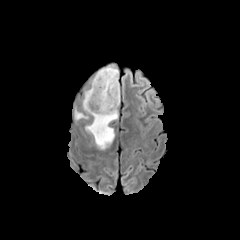
FLAIR MR.
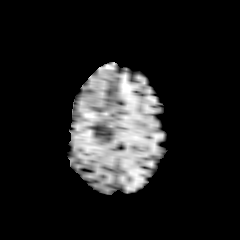
T1-weighted MR image.
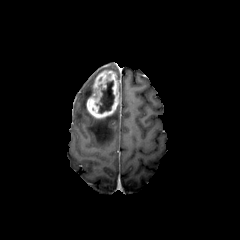
Post-contrast T1-weighted MR of the same slice.
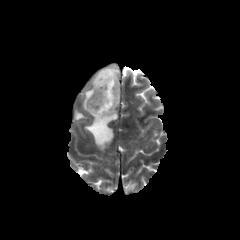
T2-weighted MR.
Axial view.
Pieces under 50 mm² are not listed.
The 3 largest peritumoral edema regions are located at [x1=83, y1=88, x2=92, y2=109], [x1=86, y1=110, x2=117, y2=148], [x1=98, y1=66, x2=118, y2=78]. The largest necrotic tumor core region is located at [x1=98, y1=81, x2=114, y2=113]. The enhancing tumor lies within [x1=86, y1=70, x2=120, y2=118].